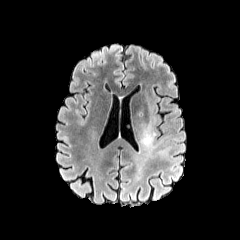
FLAIR magnetic resonance.
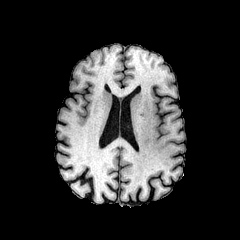
T1-weighted MR of the same slice.
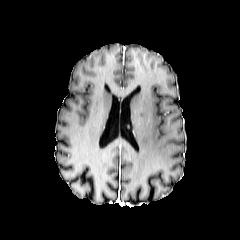
Post-contrast T1-weighted MR of the same slice.
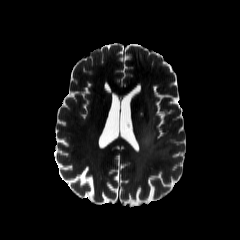
Same slice, T2-weighted MR.
Brain
Findings:
• peritumoral edema: {"x1": 140, "y1": 93, "x2": 155, "y2": 148}